Axial plane. Slice index 83.
FLAIR MR image.
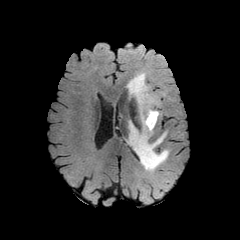
T1-weighted magnetic resonance.
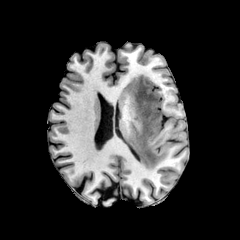
Post-contrast T1-weighted MR.
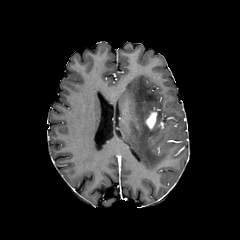
T2-weighted MR image.
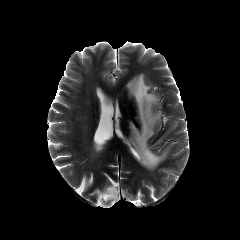
Segmented structures:
• peritumoral edema: 126:73:169:171
• enhancing tumor: 145:111:157:129